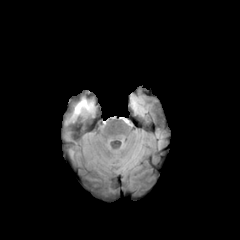
FLAIR MRI.
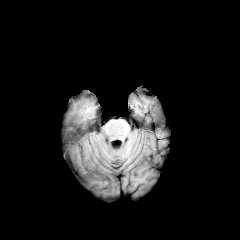
T1-weighted MR image.
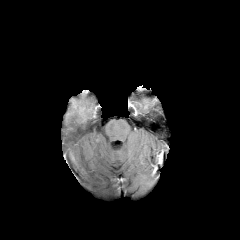
Post-contrast T1-weighted magnetic resonance.
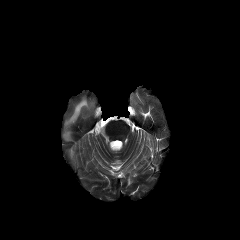
T2-weighted MRI of the same slice.
240x240 px
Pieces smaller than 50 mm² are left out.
peritumoral_edema:
  - left=65, top=97, right=94, bottom=125